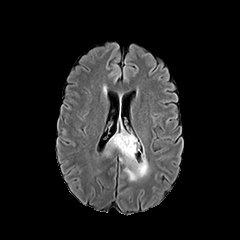
FLAIR MR image.
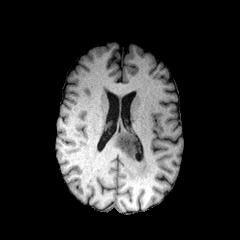
T1-weighted MR image.
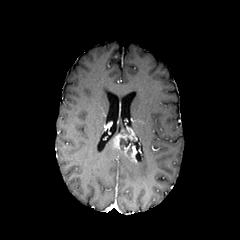
Same slice, post-contrast T1-weighted MR.
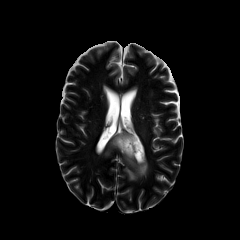
T2-weighted MRI.
Axial view.
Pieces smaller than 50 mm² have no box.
* necrotic tumor core: x1=120, y1=138, x2=138, y2=155
* peritumoral edema: x1=105, y1=133, x2=118, y2=155; x1=119, y1=150, x2=148, y2=180
* enhancing tumor: x1=124, y1=143, x2=136, y2=162; x1=113, y1=133, x2=136, y2=149